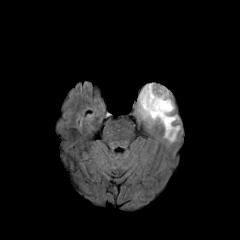
FLAIR MR image.
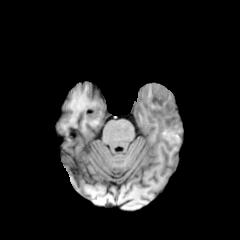
T1-weighted MR.
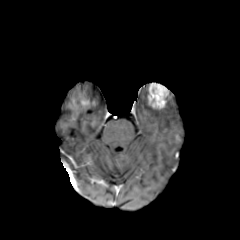
Post-contrast T1-weighted MR.
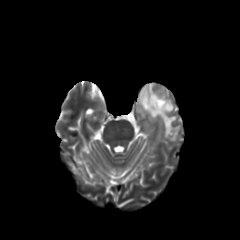
Same slice, T2-weighted MR image.
Axial plane; 240x240
The enhancing tumor is located at (147, 82, 169, 108). The peritumoral edema appears at (133, 83, 179, 139).